FLAIR magnetic resonance.
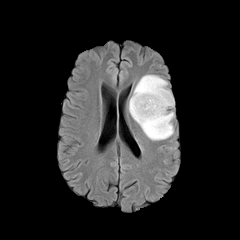
T1-weighted MR image.
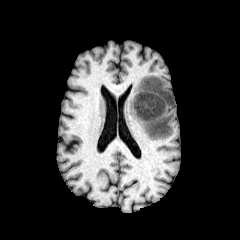
Post-contrast T1-weighted MR.
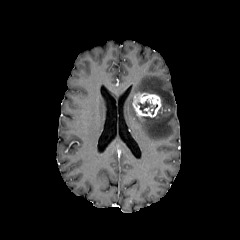
T2-weighted MR.
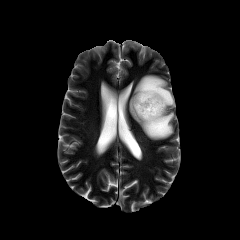
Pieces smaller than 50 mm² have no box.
enhancing tumor at {"x1": 132, "y1": 92, "x2": 162, "y2": 118}
peritumoral edema at {"x1": 128, "y1": 75, "x2": 174, "y2": 140}
necrotic tumor core at {"x1": 138, "y1": 101, "x2": 151, "y2": 113}